FLAIR MR.
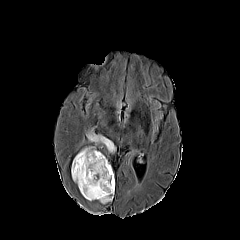
T1-weighted MR image.
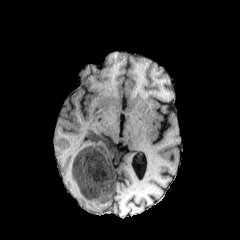
Post-contrast T1-weighted magnetic resonance.
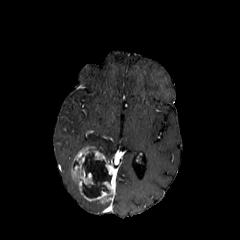
T2-weighted MR image.
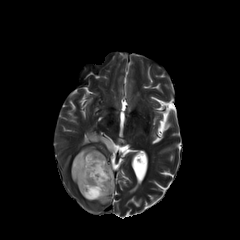
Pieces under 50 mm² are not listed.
enhancing_tumor:
  - box(71, 146, 115, 203)
necrotic_tumor_core:
  - box(82, 153, 111, 198)
peritumoral_edema:
  - box(88, 133, 114, 152)